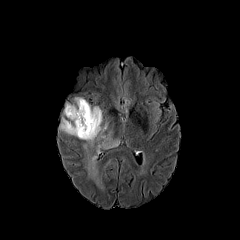
FLAIR MRI.
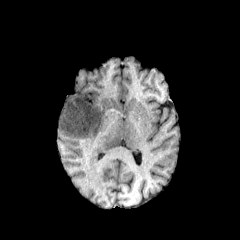
T1-weighted MR of the same slice.
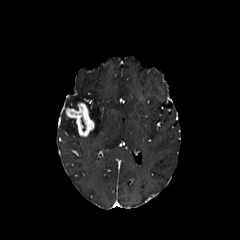
Post-contrast T1-weighted magnetic resonance.
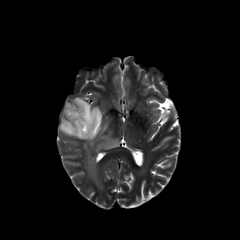
Same slice, T2-weighted magnetic resonance.
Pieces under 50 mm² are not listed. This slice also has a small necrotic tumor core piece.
peritumoral edema — <bbox>59, 97, 119, 188</bbox>
enhancing tumor — <bbox>65, 102, 94, 137</bbox>